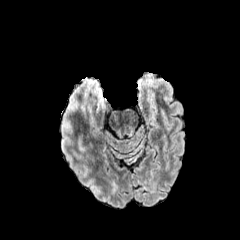
FLAIR MR image.
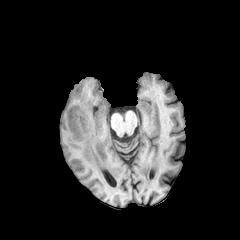
T1-weighted MR image.
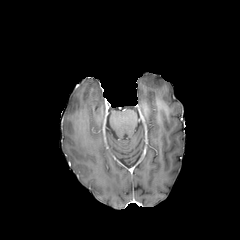
Same slice, post-contrast T1-weighted MR image.
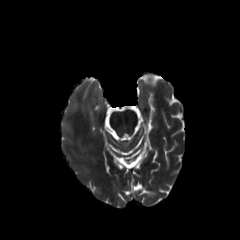
Same slice, T2-weighted magnetic resonance.
Axial slice | Image size 240x240
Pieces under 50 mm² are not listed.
peritumoral edema: (x1=94, y1=87, x2=105, y2=122), (x1=78, y1=134, x2=88, y2=154)